FLAIR magnetic resonance.
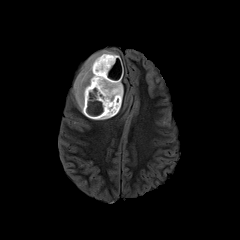
T1-weighted MR image.
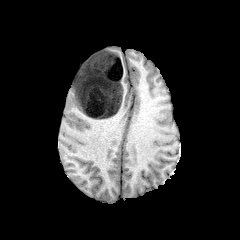
Post-contrast T1-weighted MRI.
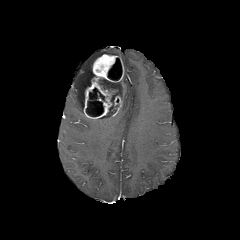
T2-weighted MRI.
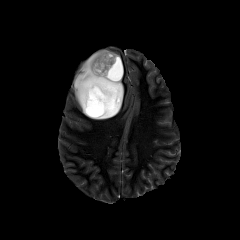
Axial slice. Brain.
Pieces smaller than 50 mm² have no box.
<segmentation>
  <enhancing_tumor>rect(112, 95, 122, 116); rect(83, 54, 123, 119)</enhancing_tumor>
  <necrotic_tumor_core>rect(99, 79, 121, 115); rect(107, 58, 122, 80); rect(86, 88, 104, 116)</necrotic_tumor_core>
  <peritumoral_edema>rect(72, 50, 119, 113)</peritumoral_edema>
</segmentation>